FLAIR MR image.
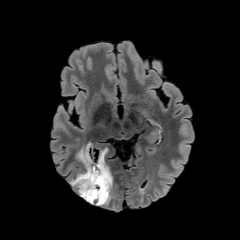
T1-weighted MR image.
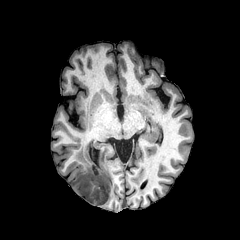
Post-contrast T1-weighted magnetic resonance.
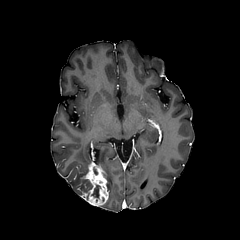
T2-weighted MR image.
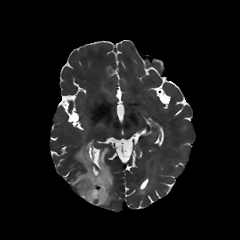
Axial plane
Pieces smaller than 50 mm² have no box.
peritumoral edema: 69:144:114:206
necrotic tumor core: 85:179:92:191, 91:184:100:197
enhancing tumor: 81:163:108:206